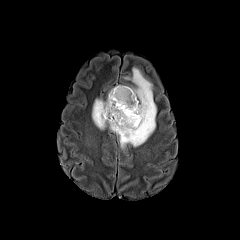
FLAIR MR image.
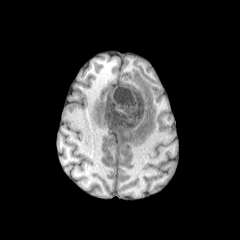
Same slice, T1-weighted MR image.
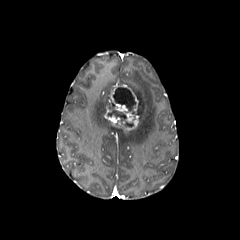
Post-contrast T1-weighted MR image.
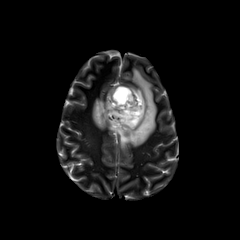
T2-weighted magnetic resonance.
Axial plane, 240x240
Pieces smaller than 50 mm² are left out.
Segmented structures:
• peritumoral edema: bbox(92, 68, 156, 149)
• enhancing tumor: bbox(104, 104, 138, 131); bbox(109, 85, 138, 113)
• necrotic tumor core: bbox(107, 100, 126, 121); bbox(113, 87, 138, 114)